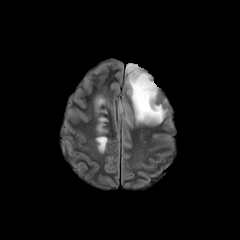
FLAIR MRI.
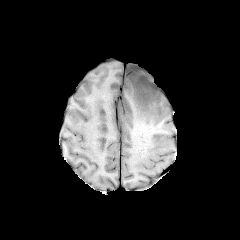
T1-weighted MRI of the same slice.
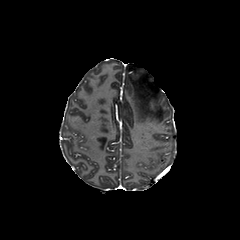
Post-contrast T1-weighted MR image of the same slice.
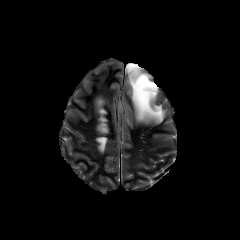
T2-weighted MRI.
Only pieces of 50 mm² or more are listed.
The largest peritumoral edema region is bounded by l=126, t=63, r=166, b=123.